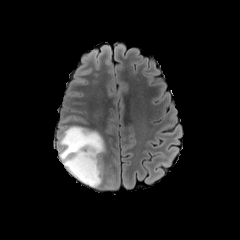
FLAIR MRI.
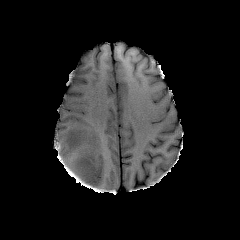
T1-weighted MR image.
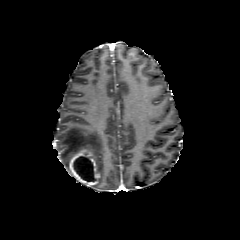
Post-contrast T1-weighted MR.
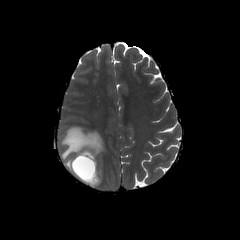
T2-weighted MR image of the same slice.
Axial view, Head
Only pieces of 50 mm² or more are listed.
Segmented structures:
• enhancing tumor: region(67, 148, 100, 188)
• necrotic tumor core: region(73, 156, 95, 181)
• peritumoral edema: region(58, 126, 104, 174)